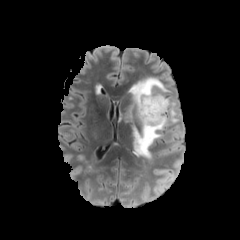
FLAIR magnetic resonance.
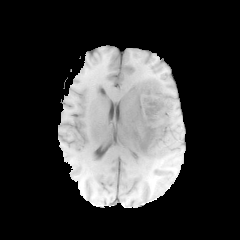
T1-weighted magnetic resonance.
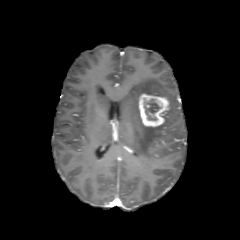
Same slice, post-contrast T1-weighted MR image.
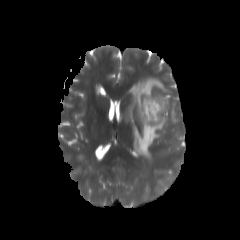
T2-weighted MR of the same slice.
Axial view, 240x240
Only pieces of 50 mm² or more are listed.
The largest necrotic tumor core region lies within <bbox>144, 99, 160, 114</bbox>. The peritumoral edema is located at <bbox>128, 77, 178, 159</bbox>. The enhancing tumor is bounded by <bbox>138, 93, 169, 126</bbox>.